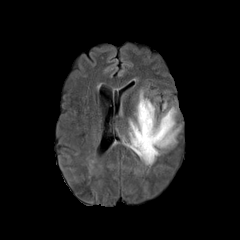
FLAIR magnetic resonance.
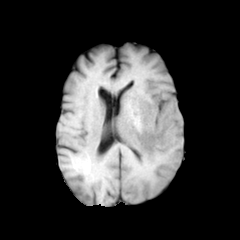
T1-weighted MR image of the same slice.
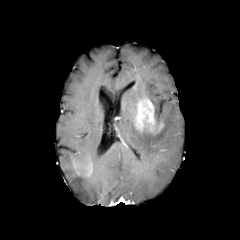
Post-contrast T1-weighted MR.
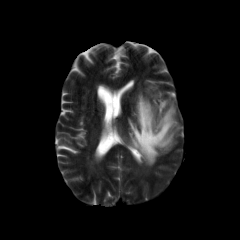
Same slice, T2-weighted MR image.
240x240
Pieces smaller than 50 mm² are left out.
enhancing_tumor:
  - [136, 98, 163, 132]
peritumoral_edema:
  - [125, 101, 180, 166]
  - [134, 89, 144, 117]